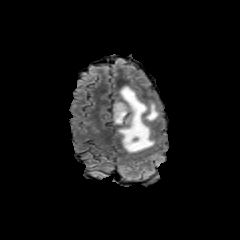
FLAIR MR image.
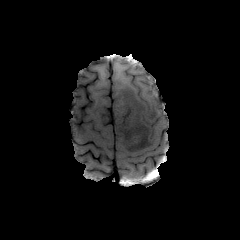
Same slice, T1-weighted MR image.
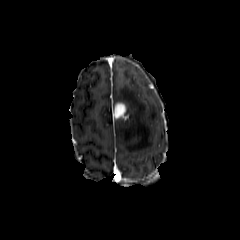
Post-contrast T1-weighted MR.
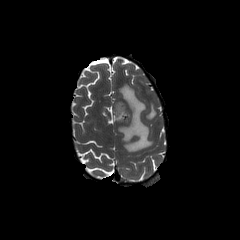
T2-weighted MR.
Head | Axial view
peritumoral edema — 145,102,158,120; 113,85,154,152
enhancing tumor — 112,102,129,122